Axial slice.
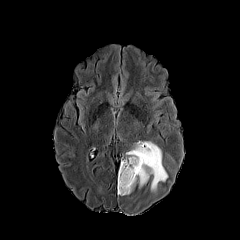
FLAIR magnetic resonance.
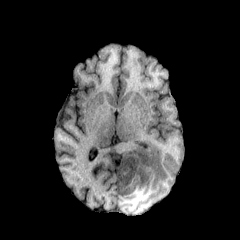
Same slice, T1-weighted MRI.
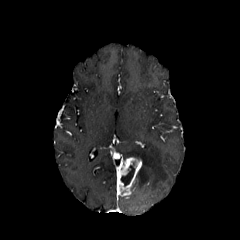
Post-contrast T1-weighted magnetic resonance of the same slice.
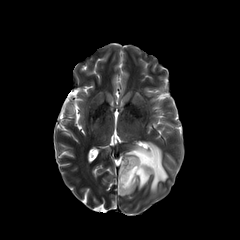
T2-weighted MR of the same slice.
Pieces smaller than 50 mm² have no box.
The largest peritumoral edema region is at bbox=[126, 141, 167, 192]. The enhancing tumor appears at bbox=[117, 157, 141, 196]. The necrotic tumor core is bounded by bbox=[121, 162, 134, 186].